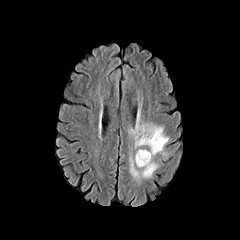
FLAIR MRI.
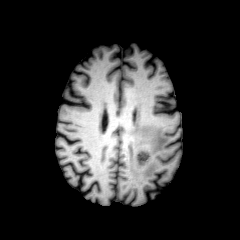
T1-weighted MR.
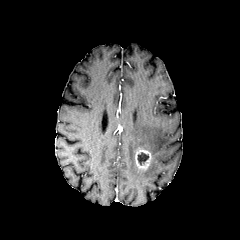
Post-contrast T1-weighted MR image.
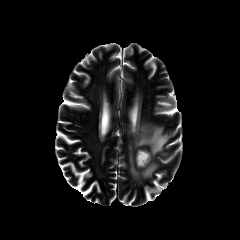
T2-weighted MR image.
Axial slice.
The peritumoral edema is located at <box>129,122,169,180</box>. The necrotic tumor core appears at <box>137,152,148,164</box>. The enhancing tumor is located at <box>135,149,151,169</box>.